FLAIR magnetic resonance.
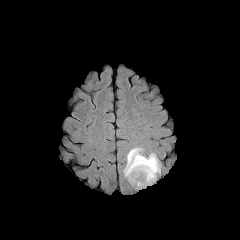
T1-weighted magnetic resonance.
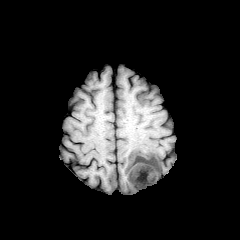
Post-contrast T1-weighted MRI.
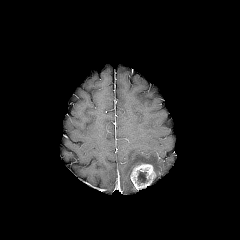
T2-weighted magnetic resonance.
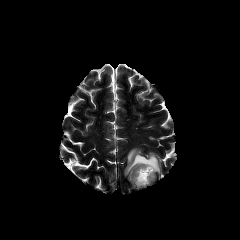
Axial plane, Brain
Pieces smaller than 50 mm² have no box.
peritumoral edema: <box>124,147,160,182</box> | enhancing tumor: <box>130,163,155,189</box> | necrotic tumor core: <box>137,171,147,184</box>